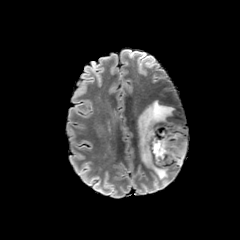
FLAIR MR.
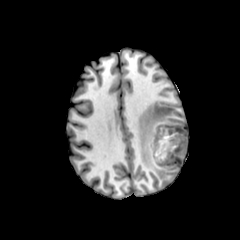
T1-weighted MR.
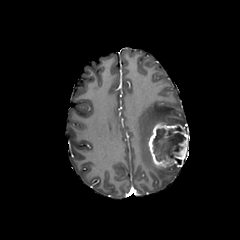
Post-contrast T1-weighted MR.
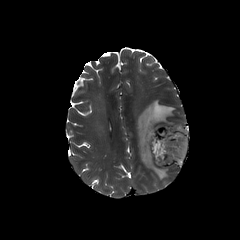
T2-weighted magnetic resonance.
Brain
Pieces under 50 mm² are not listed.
Segmented structures:
- necrotic tumor core: x1=152, y1=126, x2=185, y2=164
- enhancing tumor: x1=148, y1=123, x2=188, y2=167
- peritumoral edema: x1=136, y1=99, x2=184, y2=179